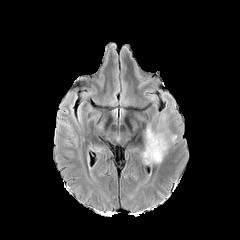
FLAIR MR image.
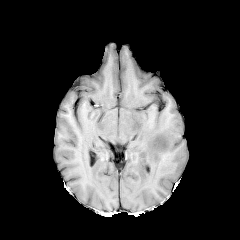
T1-weighted MR image of the same slice.
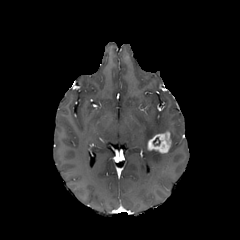
Post-contrast T1-weighted MR.
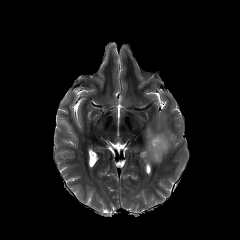
Same slice, T2-weighted MRI.
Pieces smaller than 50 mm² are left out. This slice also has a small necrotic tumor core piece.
enhancing tumor: 147 131 171 153 | peritumoral edema: 142 116 168 164